Head; Axial view; Slice index 46
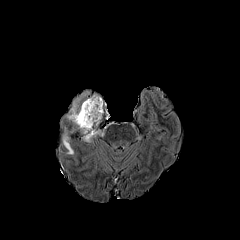
FLAIR MR image.
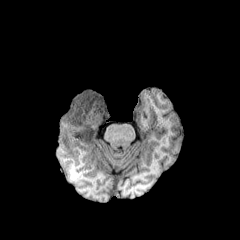
T1-weighted MRI.
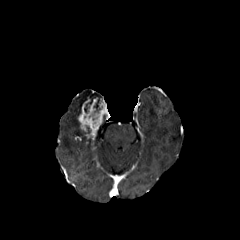
Same slice, post-contrast T1-weighted MR image.
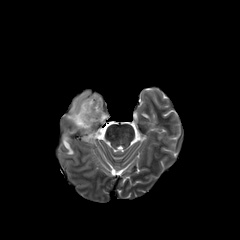
T2-weighted MRI.
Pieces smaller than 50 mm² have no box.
The largest necrotic tumor core region is bounded by l=84, t=98, r=93, b=112. The 2 largest peritumoral edema regions are located at l=62, t=128, r=73, b=154; l=66, t=91, r=89, b=128. The enhancing tumor lies within l=77, t=97, r=105, b=139.